FLAIR MR.
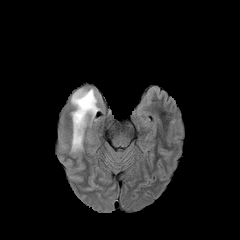
T1-weighted magnetic resonance.
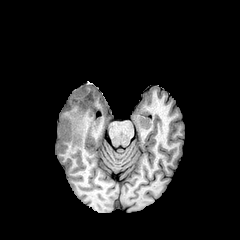
Post-contrast T1-weighted MRI.
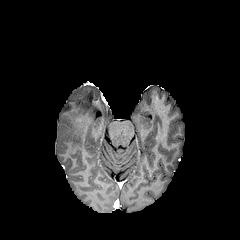
T2-weighted MR.
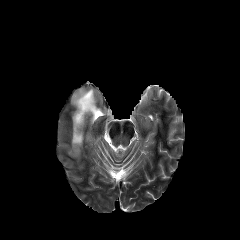
Image size 240x240, Brain
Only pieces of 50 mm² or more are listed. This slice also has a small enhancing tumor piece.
The peritumoral edema lies within (x1=71, y1=88, x2=98, y2=151).